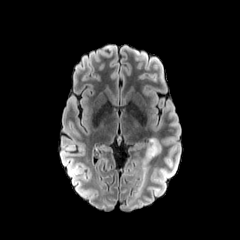
FLAIR magnetic resonance.
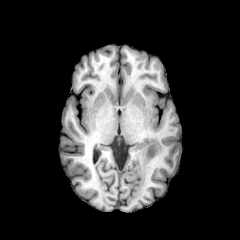
T1-weighted MR.
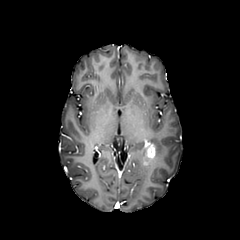
Post-contrast T1-weighted MRI.
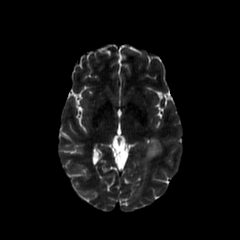
T2-weighted magnetic resonance of the same slice.
{
  "peritumoral_edema": [
    "149, 138, 161, 156",
    "138, 154, 150, 190"
  ],
  "enhancing_tumor": [
    "146, 143, 155, 159"
  ]
}